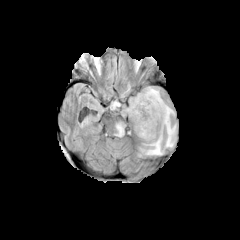
FLAIR MR image.
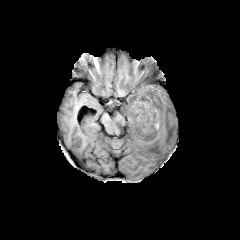
T1-weighted MRI of the same slice.
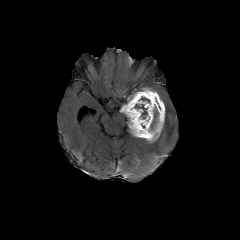
Post-contrast T1-weighted MR image of the same slice.
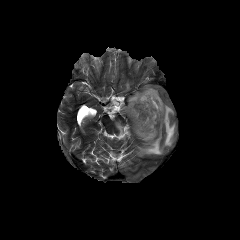
T2-weighted MR.
Brain | 240x240
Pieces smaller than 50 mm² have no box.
enhancing tumor: bounding box 120:88:165:141
necrotic tumor core: bounding box 134:104:147:118
peritumoral edema: bounding box 111:101:121:108, 116:122:125:135, 139:102:176:156